Axial slice; Slice 81 of 155; Head
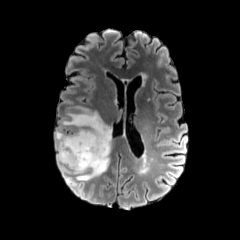
FLAIR magnetic resonance.
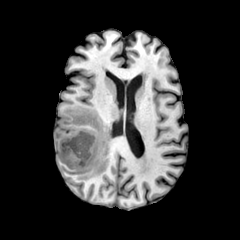
T1-weighted magnetic resonance.
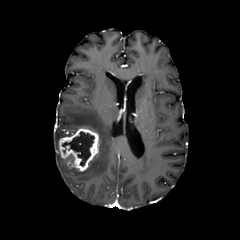
Post-contrast T1-weighted MRI.
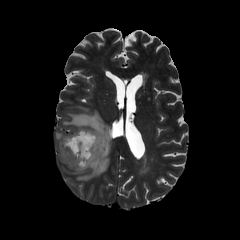
T2-weighted magnetic resonance.
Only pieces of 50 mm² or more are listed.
peritumoral edema: bbox(55, 130, 71, 164); bbox(60, 105, 111, 180)
necrotic tumor core: bbox(62, 131, 94, 166)
enhancing tumor: bbox(59, 128, 99, 171)